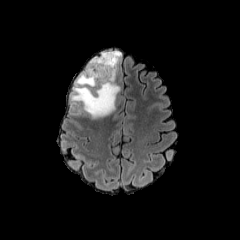
FLAIR MRI.
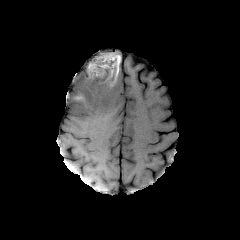
T1-weighted magnetic resonance.
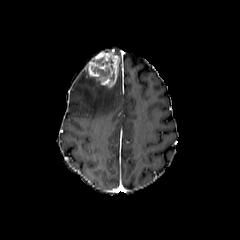
Same slice, post-contrast T1-weighted MR.
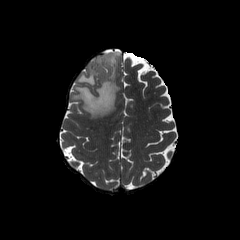
Same slice, T2-weighted MR image.
Axial plane.
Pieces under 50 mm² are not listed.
The enhancing tumor is at region(86, 51, 119, 88). The largest necrotic tumor core region is bounded by region(92, 66, 105, 74). The largest peritumoral edema region is located at region(71, 70, 120, 118).